240x240 px, Brain
FLAIR MR image.
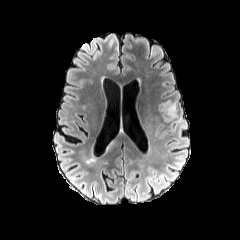
T1-weighted magnetic resonance.
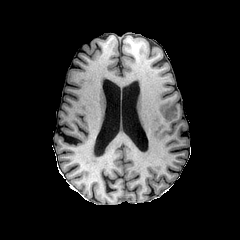
Post-contrast T1-weighted MR image.
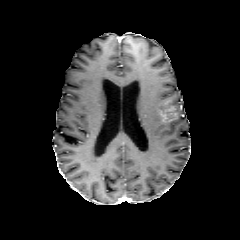
T2-weighted magnetic resonance.
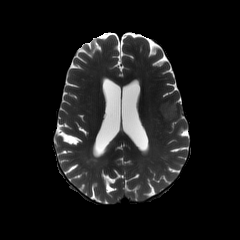
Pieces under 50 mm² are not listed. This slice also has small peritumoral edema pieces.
The enhancing tumor lies within x1=161 y1=100 x2=176 y2=122.